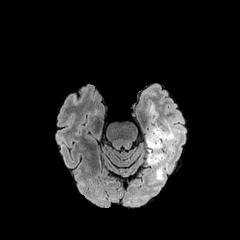
FLAIR magnetic resonance.
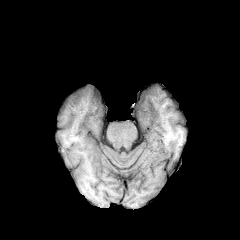
Same slice, T1-weighted MRI.
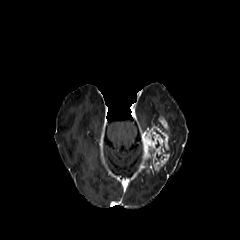
Same slice, post-contrast T1-weighted MR.
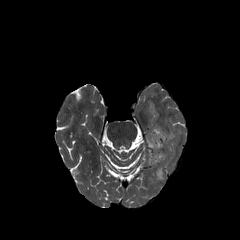
Same slice, T2-weighted MR image.
Head | 240x240 px
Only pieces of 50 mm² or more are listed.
enhancing tumor: (144,118,169,170)
peritumoral edema: (149,106,158,122), (151,167,163,182), (165,119,181,156)
necrotic tumor core: (146,150,154,164)